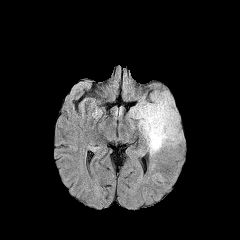
FLAIR MR.
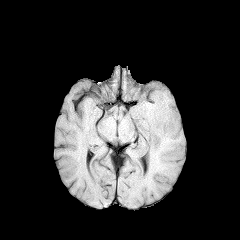
T1-weighted MRI.
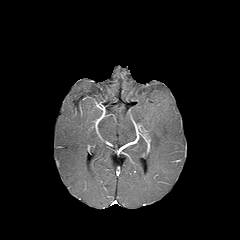
Same slice, post-contrast T1-weighted MRI.
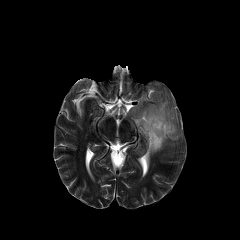
T2-weighted MR image.
Axial view | 240x240
Findings:
• peritumoral edema: (left=131, top=92, right=181, bottom=155)